FLAIR MRI.
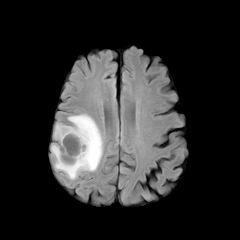
T1-weighted MRI.
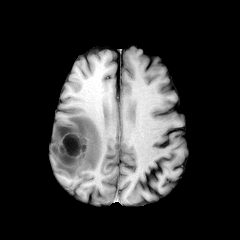
Post-contrast T1-weighted MR.
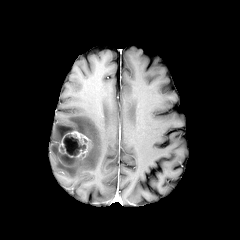
T2-weighted magnetic resonance.
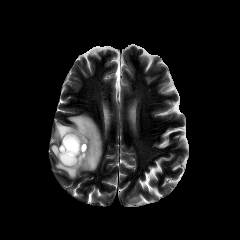
Head. 240x240.
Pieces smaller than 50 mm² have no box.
enhancing tumor = (58, 130, 90, 166)
necrotic tumor core = (59, 134, 85, 164)
peritumoral edema = (51, 114, 103, 179)